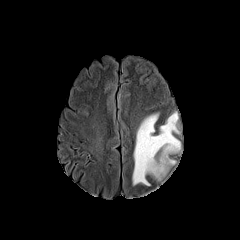
FLAIR magnetic resonance.
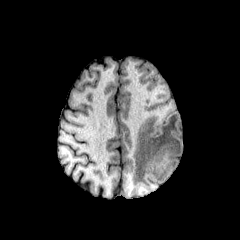
Same slice, T1-weighted MRI.
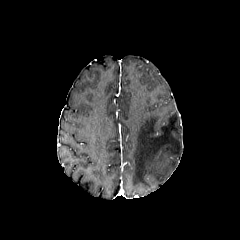
Post-contrast T1-weighted MR image.
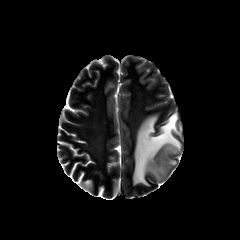
T2-weighted MR.
240x240 px
The peritumoral edema is at 132, 112, 181, 185.